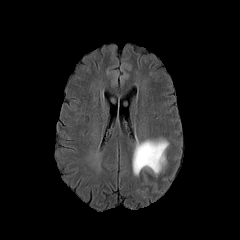
FLAIR MR.
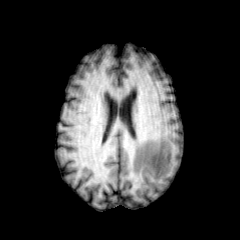
T1-weighted MR image.
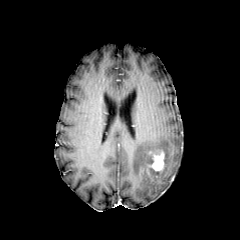
Post-contrast T1-weighted MR of the same slice.
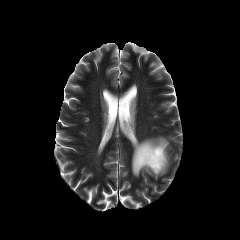
T2-weighted MR.
240x240 px
peritumoral edema: (left=132, top=138, right=169, bottom=175)
enhancing tumor: (left=151, top=151, right=164, bottom=170)